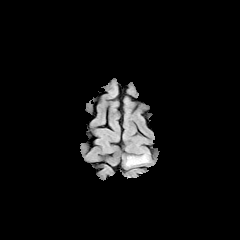
FLAIR MR image.
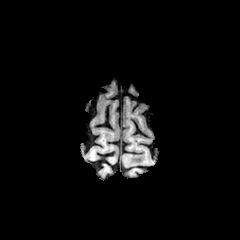
Same slice, T1-weighted MR.
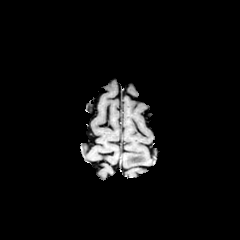
Post-contrast T1-weighted magnetic resonance of the same slice.
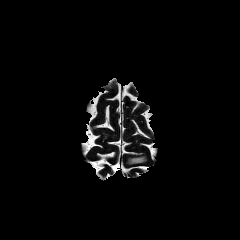
Same slice, T2-weighted MR.
Brain. Axial plane.
{"peritumoral_edema": ["<box>127,156,147,165</box>"]}